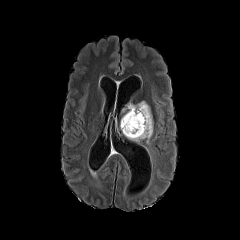
FLAIR MR image.
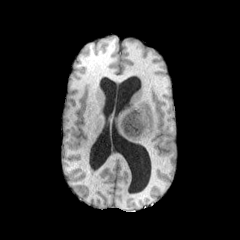
T1-weighted magnetic resonance of the same slice.
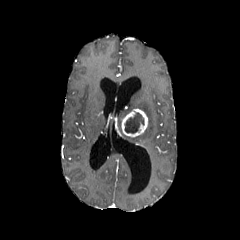
Post-contrast T1-weighted MR image.
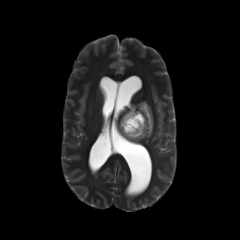
T2-weighted MR.
Head. 240x240 px.
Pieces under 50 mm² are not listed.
enhancing_tumor:
  - <box>121,109,147,137</box>
peritumoral_edema:
  - <box>126,101,153,143</box>
necrotic_tumor_core:
  - <box>125,113,144,134</box>